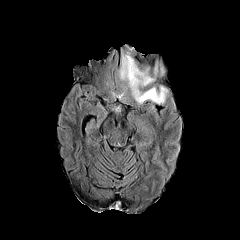
FLAIR magnetic resonance.
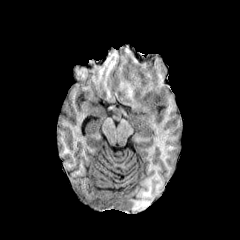
T1-weighted MR of the same slice.
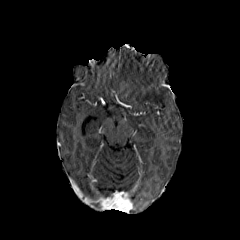
Post-contrast T1-weighted MRI.
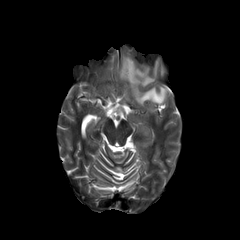
Same slice, T2-weighted MR image.
Brain; 240x240
peritumoral edema at l=119, t=49, r=170, b=105; l=160, t=57, r=166, b=76